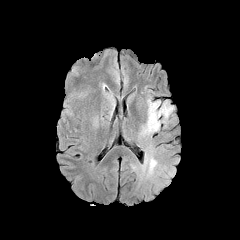
FLAIR MR.
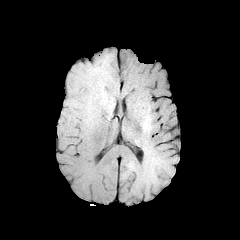
Same slice, T1-weighted MR.
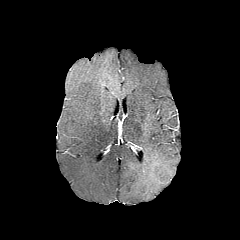
Same slice, post-contrast T1-weighted MR image.
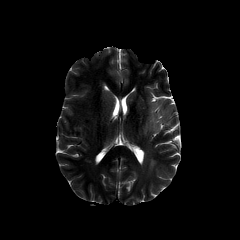
T2-weighted MR of the same slice.
Brain
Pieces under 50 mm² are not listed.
peritumoral edema: (x1=129, y1=91, x2=178, y2=189)